Slice 48/155
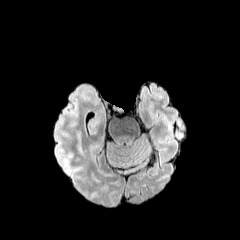
FLAIR MR.
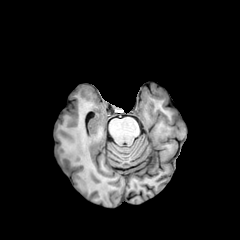
T1-weighted MRI.
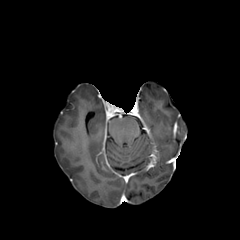
Post-contrast T1-weighted MR image.
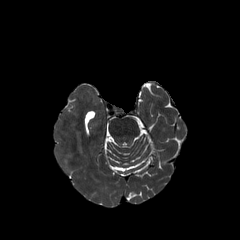
T2-weighted magnetic resonance.
The peritumoral edema lies within x1=77 y1=132 x2=83 y2=153.